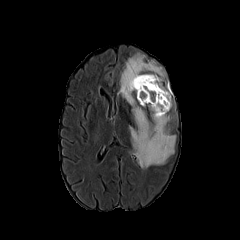
FLAIR MR.
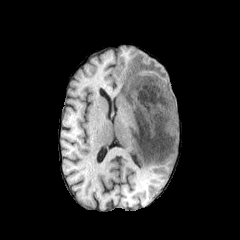
T1-weighted magnetic resonance.
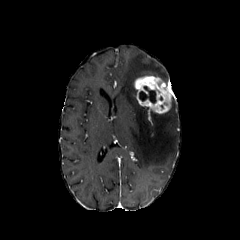
Same slice, post-contrast T1-weighted MR image.
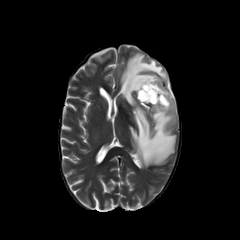
T2-weighted MR image.
240x240 px; Axial view
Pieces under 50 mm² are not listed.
The enhancing tumor appears at box=[134, 76, 174, 113]. The largest peritumoral edema region is bounded by box=[118, 53, 176, 168]. The largest necrotic tumor core region is at box=[139, 86, 156, 103].